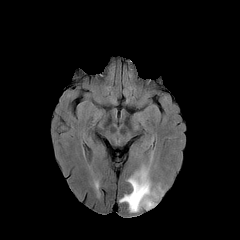
FLAIR MR image.
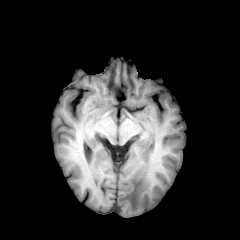
T1-weighted MRI.
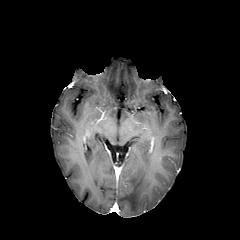
Post-contrast T1-weighted MRI.
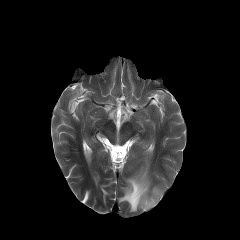
T2-weighted MRI.
Axial slice, 240x240, Head
peritumoral edema: 119,166,163,212